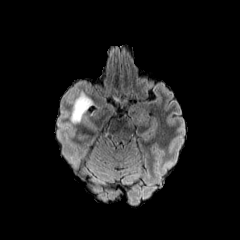
FLAIR MR.
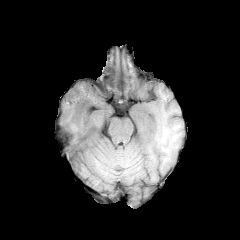
T1-weighted MR.
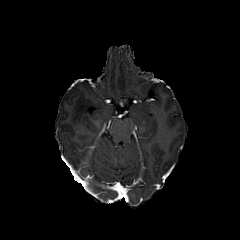
Post-contrast T1-weighted MR image of the same slice.
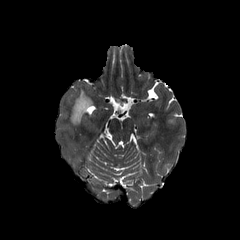
T2-weighted MR image.
Axial view | Brain
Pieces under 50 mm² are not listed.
The largest peritumoral edema region appears at rect(71, 90, 92, 123).